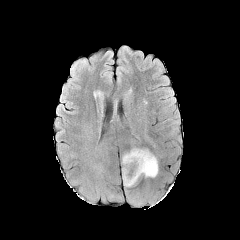
FLAIR MR image.
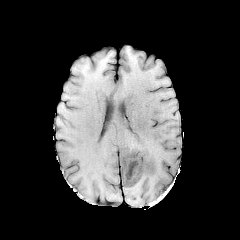
Same slice, T1-weighted MR.
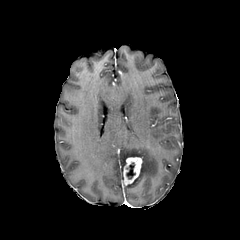
Same slice, post-contrast T1-weighted MR.
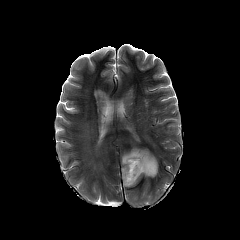
T2-weighted magnetic resonance of the same slice.
Axial slice; Brain
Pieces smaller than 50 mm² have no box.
Annotated regions:
• enhancing tumor: x1=123, y1=157, x2=142, y2=185
• peritumoral edema: x1=121, y1=147, x2=158, y2=187
• necrotic tumor core: x1=126, y1=162, x2=135, y2=179